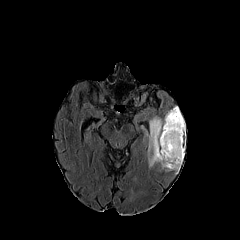
FLAIR MR image.
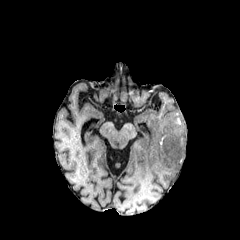
Same slice, T1-weighted MRI.
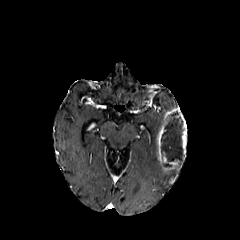
Post-contrast T1-weighted MR of the same slice.
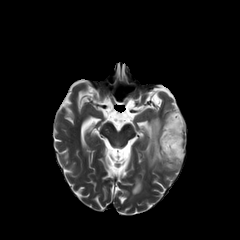
T2-weighted MR image of the same slice.
Axial plane; Head
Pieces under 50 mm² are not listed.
necrotic tumor core: left=161, top=111, right=183, bottom=165 | enhancing tumor: left=156, top=107, right=186, bottom=171 | peritumoral edema: left=148, top=116, right=162, bottom=167